Head
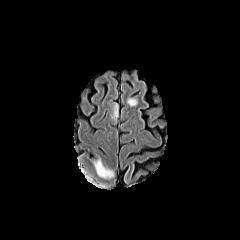
FLAIR MR.
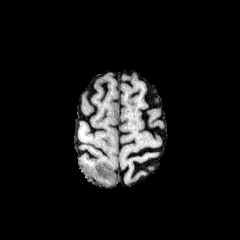
T1-weighted MR of the same slice.
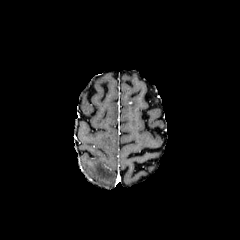
Post-contrast T1-weighted magnetic resonance of the same slice.
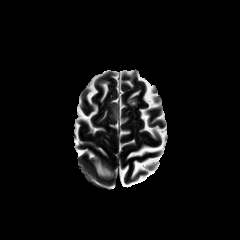
Same slice, T2-weighted MR image.
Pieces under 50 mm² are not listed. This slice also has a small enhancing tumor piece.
Findings:
* peritumoral edema: 126 96 137 106, 89 155 115 179, 110 102 118 122